FLAIR magnetic resonance.
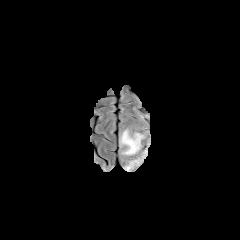
T1-weighted MR image.
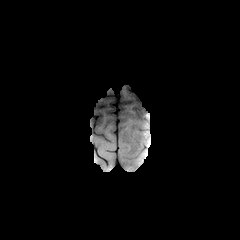
Post-contrast T1-weighted MR image.
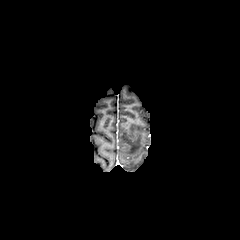
T2-weighted MR image.
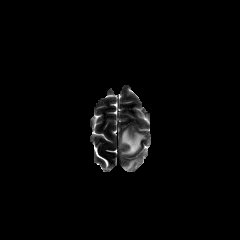
240x240 | Brain
<segmentation>
  <peritumoral_edema>box(120, 129, 144, 155); box(124, 159, 140, 170)</peritumoral_edema>
</segmentation>